FLAIR MRI.
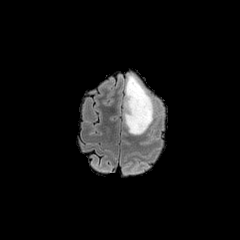
T1-weighted MR.
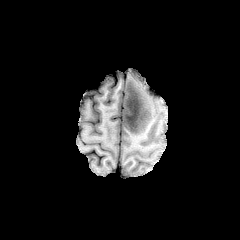
Post-contrast T1-weighted MR image.
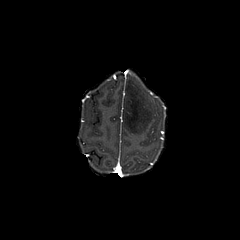
T2-weighted MRI.
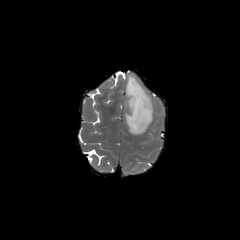
240x240. Brain.
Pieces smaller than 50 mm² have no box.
{
  "peritumoral_edema": [
    "<box>125,75,153,134</box>"
  ],
  "necrotic_tumor_core": [
    "<box>125,102,139,132</box>"
  ]
}